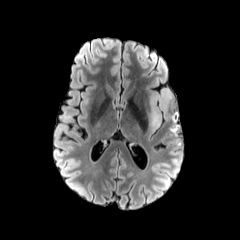
FLAIR MRI.
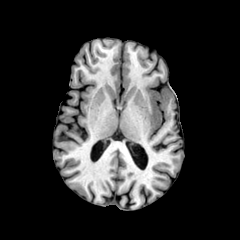
T1-weighted magnetic resonance.
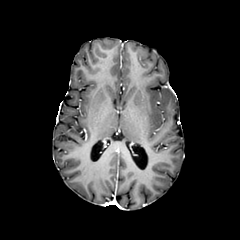
Same slice, post-contrast T1-weighted MRI.
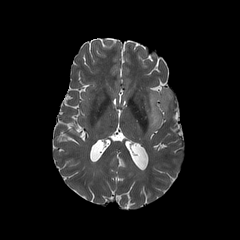
T2-weighted MR of the same slice.
240x240 px
peritumoral edema = {"x1": 149, "y1": 89, "x2": 172, "y2": 130}